Brain
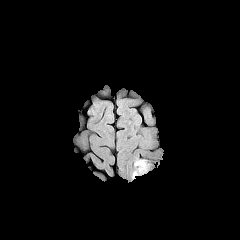
FLAIR MR image.
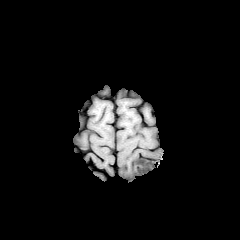
T1-weighted MRI.
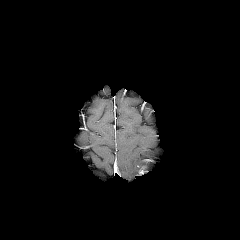
Post-contrast T1-weighted magnetic resonance.
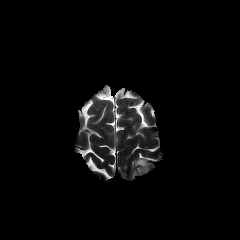
T2-weighted MR.
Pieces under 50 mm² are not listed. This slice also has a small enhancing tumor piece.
peritumoral edema: box=[135, 160, 146, 171]